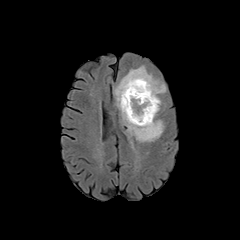
FLAIR MR image.
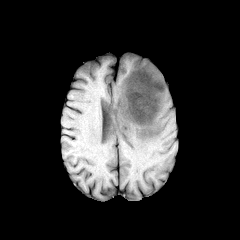
T1-weighted magnetic resonance.
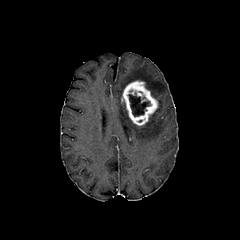
Post-contrast T1-weighted MR.
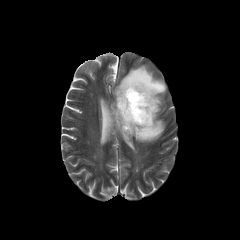
Same slice, T2-weighted MRI.
Brain
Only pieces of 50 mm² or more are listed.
• enhancing tumor: bbox(121, 80, 158, 125)
• peritumoral edema: bbox(115, 65, 166, 142)
• necrotic tumor core: bbox(128, 94, 149, 116)